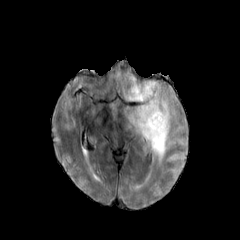
FLAIR magnetic resonance.
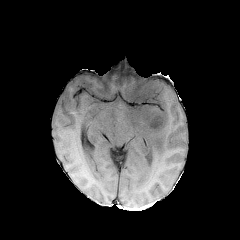
Same slice, T1-weighted MR image.
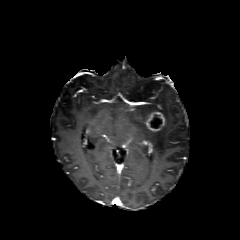
Same slice, post-contrast T1-weighted MR image.
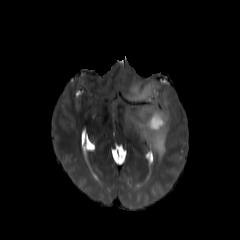
T2-weighted magnetic resonance.
Axial slice | Image size 240x240
enhancing tumor at bbox(144, 111, 166, 132)
necrotic tumor core at bbox(150, 115, 162, 128)
peritumoral edema at bbox(123, 77, 171, 159)